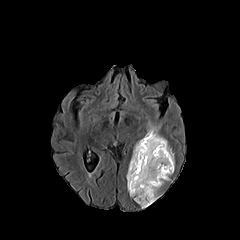
FLAIR MRI.
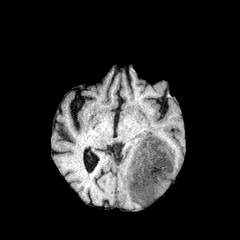
T1-weighted MR.
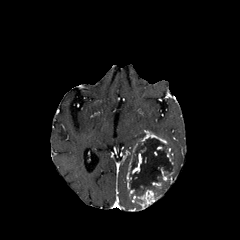
Same slice, post-contrast T1-weighted magnetic resonance.
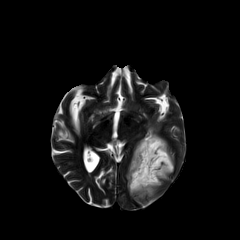
T2-weighted MR image.
Brain; 240x240
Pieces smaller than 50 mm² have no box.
enhancing tumor: <bbox>160, 167, 173, 181</bbox>, <bbox>126, 159, 134, 195</bbox>, <bbox>166, 147, 173, 164</bbox>, <bbox>132, 189, 158, 208</bbox>, <bbox>140, 131, 167, 146</bbox>, <bbox>132, 153, 141, 173</bbox>, <bbox>152, 182, 163, 188</bbox>
necrotic tumor core: <bbox>129, 138, 174, 195</bbox>
peritumoral edema: <bbox>148, 123, 160, 136</bbox>